FLAIR magnetic resonance.
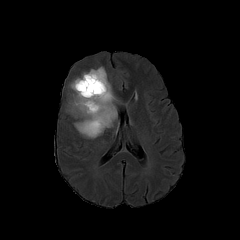
T1-weighted magnetic resonance.
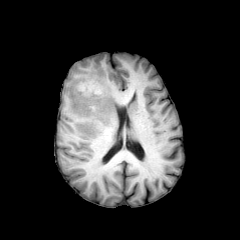
Post-contrast T1-weighted MR.
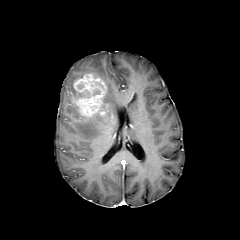
T2-weighted magnetic resonance.
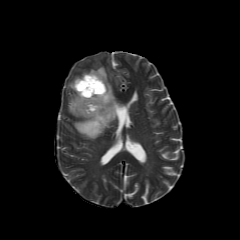
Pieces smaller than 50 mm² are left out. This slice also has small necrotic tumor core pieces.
enhancing tumor: bbox(72, 73, 108, 117) | peritumoral edema: bbox(70, 67, 117, 138); bbox(69, 97, 80, 115)